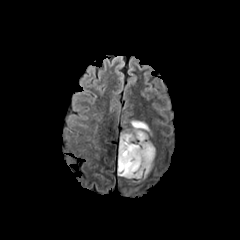
FLAIR MRI.
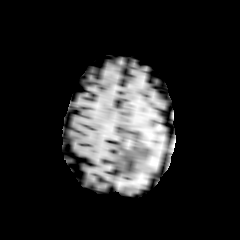
T1-weighted MR image of the same slice.
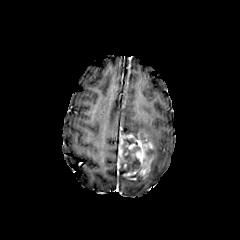
Post-contrast T1-weighted MR image of the same slice.
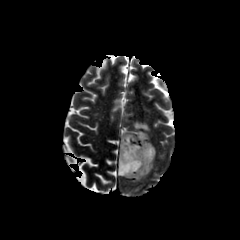
T2-weighted magnetic resonance of the same slice.
Brain, Axial plane
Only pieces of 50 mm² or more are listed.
enhancing tumor at bbox(117, 131, 155, 179)
peritumoral edema at bbox(130, 121, 149, 134)
necrotic tumor core at bbox(147, 149, 153, 161); bbox(120, 139, 142, 174)